Axial plane | Slice 47/155
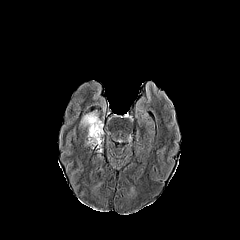
FLAIR magnetic resonance.
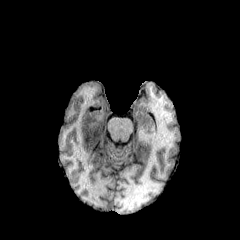
T1-weighted magnetic resonance of the same slice.
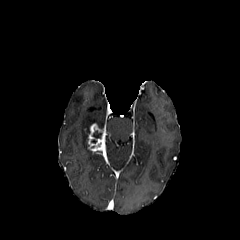
Post-contrast T1-weighted MRI.
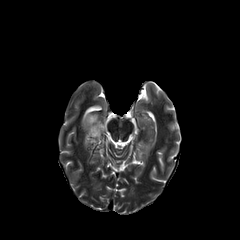
T2-weighted MRI.
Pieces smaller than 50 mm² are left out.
<segmentation>
  <enhancing_tumor>[x1=88, y1=123, x2=103, y2=151]</enhancing_tumor>
  <necrotic_tumor_core>[x1=91, y1=131, x2=101, y2=143]</necrotic_tumor_core>
  <peritumoral_edema>[x1=80, y1=112, x2=103, y2=133]</peritumoral_edema>
</segmentation>